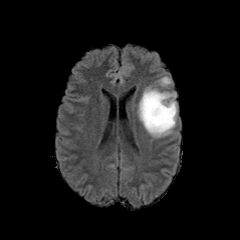
FLAIR MR.
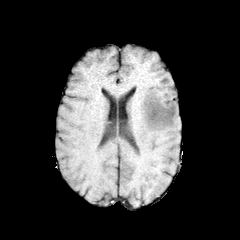
T1-weighted MRI.
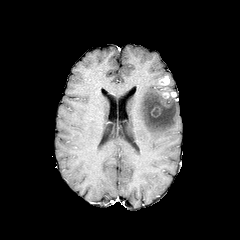
Same slice, post-contrast T1-weighted MR image.
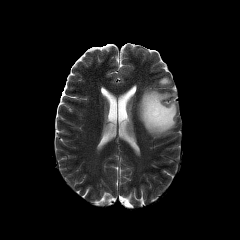
T2-weighted MRI of the same slice.
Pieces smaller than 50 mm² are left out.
The largest peritumoral edema region is at <bbox>138, 87, 177, 137</bbox>. The 2 largest enhancing tumor regions are located at <bbox>163, 92, 176, 98</bbox>, <bbox>159, 76, 169, 85</bbox>.